Slice index 58, Axial view
FLAIR MR.
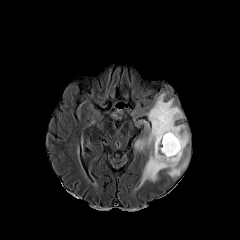
T1-weighted magnetic resonance.
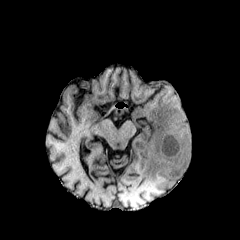
Post-contrast T1-weighted MR image.
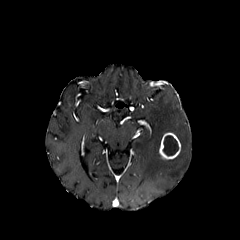
T2-weighted MR image.
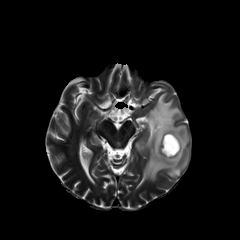
Annotated regions:
• peritumoral edema: (x1=135, y1=92, x2=189, y2=184)
• enhancing tumor: (x1=159, y1=132, x2=180, y2=159)
• necrotic tumor core: (x1=163, y1=135, x2=178, y2=155)